FLAIR MRI.
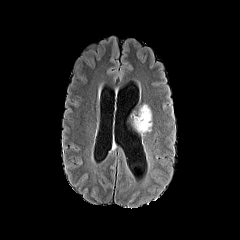
T1-weighted magnetic resonance.
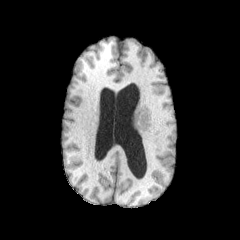
Post-contrast T1-weighted MR.
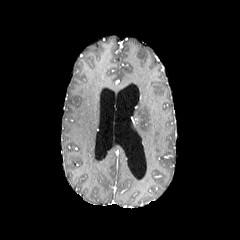
T2-weighted MR image.
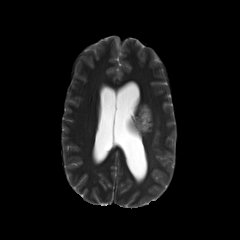
Brain
peritumoral edema: bounding box <bbox>135, 104, 152, 135</bbox>